Image covers 240 mm x 240 mm | Axial slice
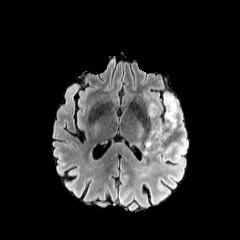
FLAIR magnetic resonance.
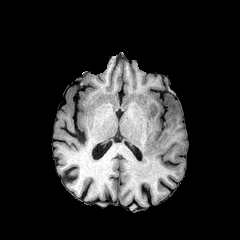
T1-weighted MRI.
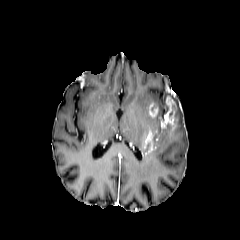
Post-contrast T1-weighted magnetic resonance.
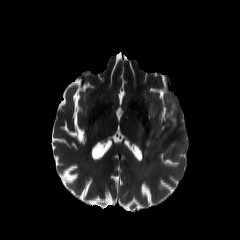
T2-weighted MRI of the same slice.
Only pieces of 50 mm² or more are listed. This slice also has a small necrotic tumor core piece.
enhancing tumor — l=144, t=95, r=176, b=154; l=148, t=102, r=158, b=118
peritumoral edema — l=143, t=90, r=188, b=173